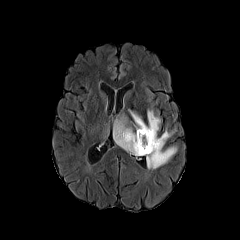
FLAIR MRI.
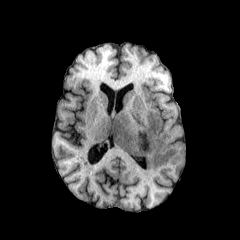
T1-weighted magnetic resonance.
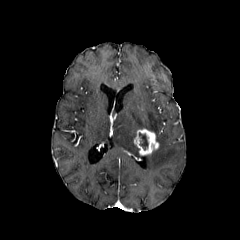
Post-contrast T1-weighted MR of the same slice.
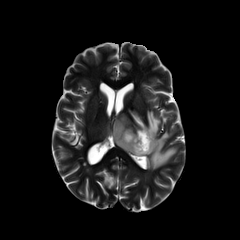
Same slice, T2-weighted MRI.
Axial view
The enhancing tumor lies within bbox(133, 128, 159, 155). The necrotic tumor core is located at bbox(139, 133, 148, 150). 3 peritumoral edema regions are bounded by bbox(129, 110, 160, 134); bbox(113, 115, 141, 156); bbox(145, 128, 177, 169).